Brain, Axial plane, Slice index 58, Image covers 240 mm x 240 mm
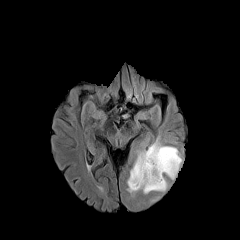
FLAIR MR.
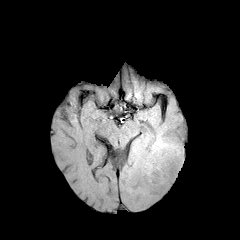
Same slice, T1-weighted magnetic resonance.
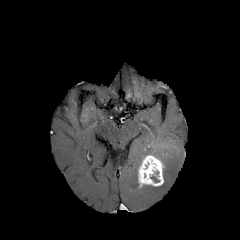
Post-contrast T1-weighted MR image.
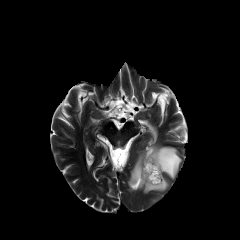
Same slice, T2-weighted MRI.
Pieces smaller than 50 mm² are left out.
* enhancing tumor: box(138, 155, 164, 187)
* peritumoral edema: box(127, 139, 182, 193)
* necrotic tumor core: box(147, 163, 160, 182)